Brain; Axial view
FLAIR MR image.
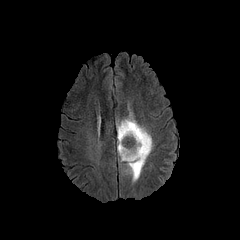
T1-weighted magnetic resonance.
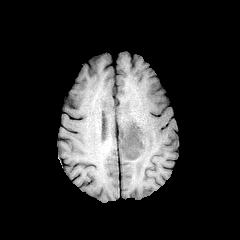
Post-contrast T1-weighted MR image.
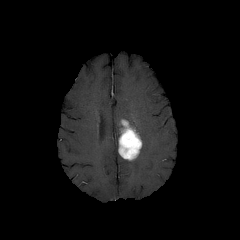
T2-weighted MRI.
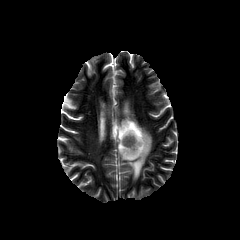
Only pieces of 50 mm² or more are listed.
The 2 largest peritumoral edema regions are bounded by bbox=[116, 120, 121, 138]; bbox=[121, 112, 152, 182]. The enhancing tumor appears at bbox=[118, 119, 142, 160].